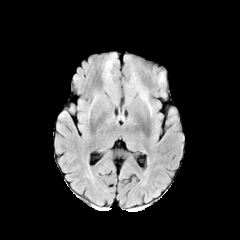
FLAIR MRI.
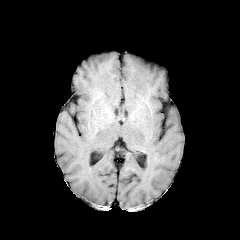
T1-weighted magnetic resonance.
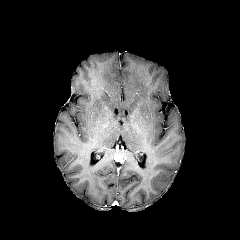
Post-contrast T1-weighted MR.
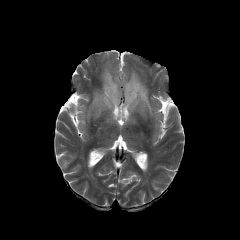
T2-weighted MR.
Axial slice
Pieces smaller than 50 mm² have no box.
peritumoral_edema:
  - (x1=103, y1=60, x2=117, y2=104)
  - (x1=125, y1=71, x2=153, y2=114)